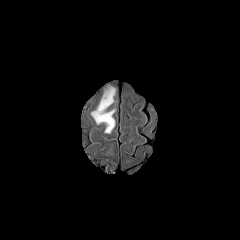
FLAIR MR image.
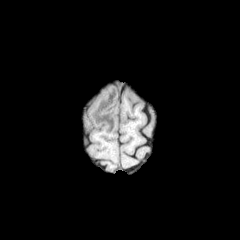
T1-weighted MRI of the same slice.
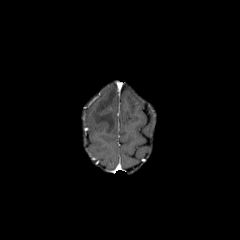
Same slice, post-contrast T1-weighted MR.
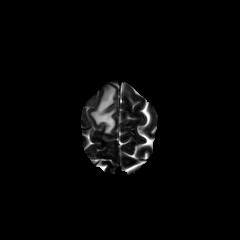
T2-weighted MR image of the same slice.
Annotated regions:
• peritumoral edema: bbox=[91, 87, 115, 133]